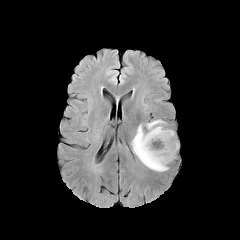
FLAIR MR image.
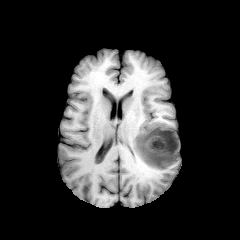
T1-weighted MRI.
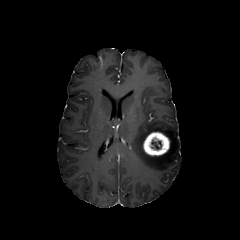
Post-contrast T1-weighted MRI.
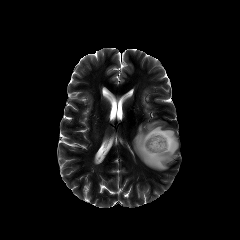
T2-weighted MR.
Brain.
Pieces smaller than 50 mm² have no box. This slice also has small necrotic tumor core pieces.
{
  "peritumoral_edema": [
    "132 120 178 171"
  ],
  "enhancing_tumor": [
    "143 131 170 156"
  ]
}